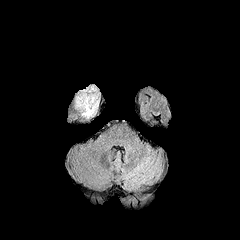
FLAIR MR image.
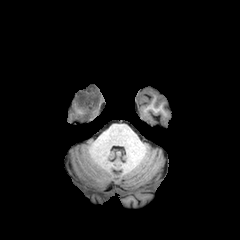
T1-weighted MRI of the same slice.
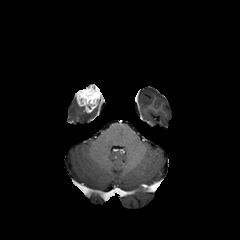
Post-contrast T1-weighted magnetic resonance of the same slice.
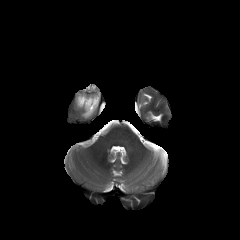
T2-weighted MRI.
Axial plane
Findings:
• enhancing tumor: {"x1": 75, "y1": 84, "x2": 101, "y2": 112}
• peritumoral edema: {"x1": 75, "y1": 98, "x2": 97, "y2": 118}